Slice index 42 | Image width 240 mm
FLAIR magnetic resonance.
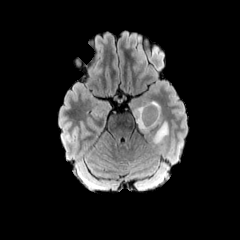
T1-weighted MR image.
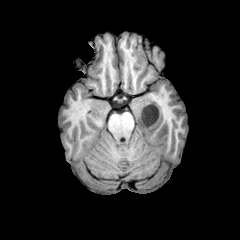
Post-contrast T1-weighted magnetic resonance.
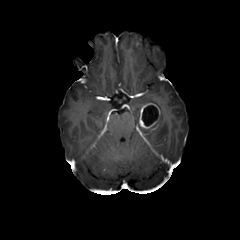
T2-weighted MRI.
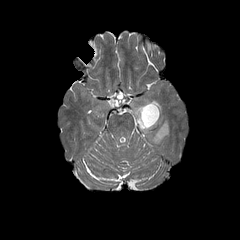
The enhancing tumor is located at box(139, 103, 160, 129). The peritumoral edema appears at box(134, 100, 168, 144). The necrotic tumor core appears at box(142, 105, 158, 126).